Axial view | Brain
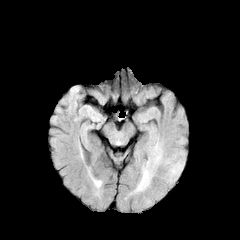
FLAIR MR image.
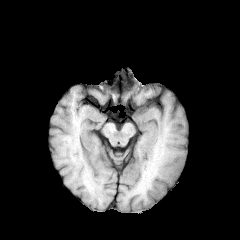
T1-weighted magnetic resonance of the same slice.
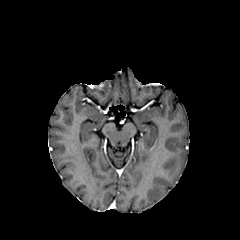
Post-contrast T1-weighted MR.
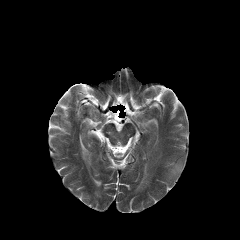
Same slice, T2-weighted MRI.
2 peritumoral edema regions appear at 139:170:148:187, 171:165:180:174.